FLAIR magnetic resonance.
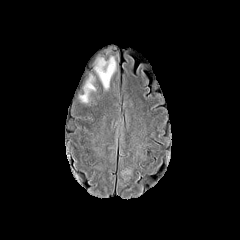
T1-weighted magnetic resonance.
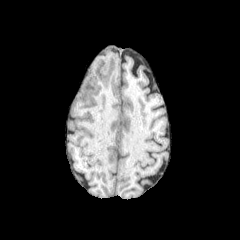
Post-contrast T1-weighted magnetic resonance.
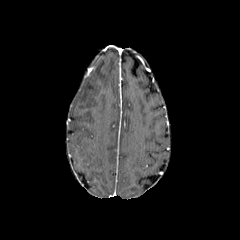
T2-weighted magnetic resonance.
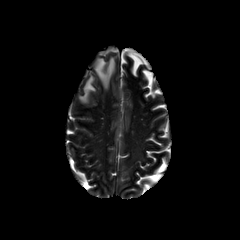
Head; Axial slice
peritumoral edema: bounding box left=95, top=57, right=115, bottom=88; left=80, top=76, right=95, bottom=102